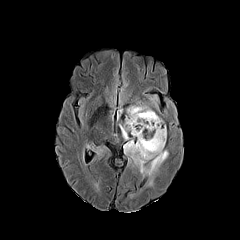
FLAIR MR image.
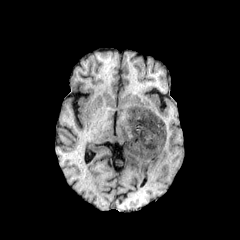
T1-weighted MR image.
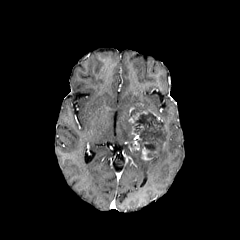
Post-contrast T1-weighted magnetic resonance.
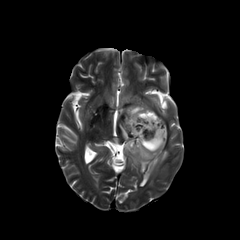
Same slice, T2-weighted MR.
Head
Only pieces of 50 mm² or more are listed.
peritumoral edema = x1=87, y1=144, x2=110, y2=159; x1=91, y1=177, x2=100, y2=192; x1=124, y1=124, x2=168, y2=187; x1=119, y1=102, x2=149, y2=139
necrotic tumor core = x1=132, y1=111, x2=164, y2=157
enhancing tumor = x1=129, y1=141, x2=139, y2=151; x1=131, y1=126, x2=141, y2=139; x1=133, y1=111, x2=147, y2=119; x1=141, y1=147, x2=152, y2=160